Image width 240 mm | Brain | Axial view
FLAIR MR.
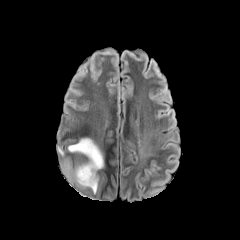
T1-weighted magnetic resonance.
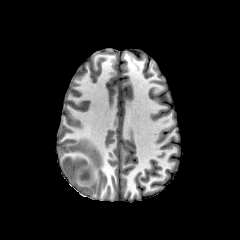
Post-contrast T1-weighted MR image.
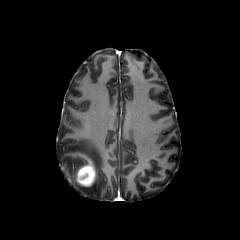
T2-weighted MRI.
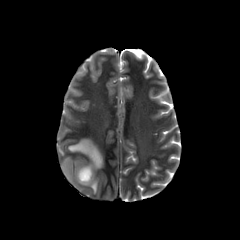
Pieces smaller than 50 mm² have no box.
The 2 largest peritumoral edema regions are bounded by <bbox>68, 138, 103, 193</bbox>, <bbox>61, 161, 80, 182</bbox>. The largest enhancing tumor region is at <bbox>76, 160, 95, 186</bbox>.